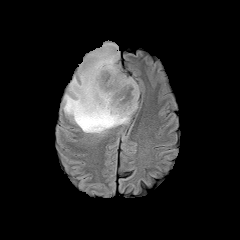
FLAIR magnetic resonance.
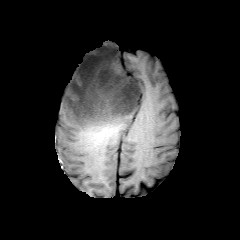
T1-weighted magnetic resonance.
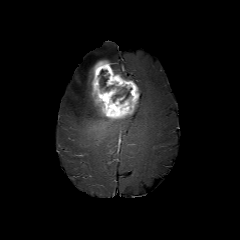
Post-contrast T1-weighted magnetic resonance.
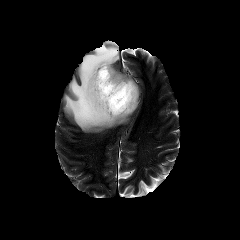
T2-weighted MR of the same slice.
Axial plane. Head.
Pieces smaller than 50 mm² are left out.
enhancing tumor = (90,60,139,120)
necrotic tumor core = (100,70,107,87)
peritumoral edema = (63,43,131,133)